Slice 109 of 155. Axial view.
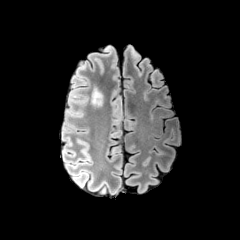
FLAIR MR.
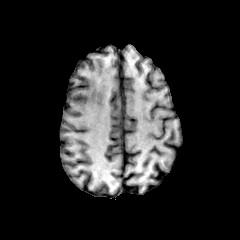
T1-weighted MRI.
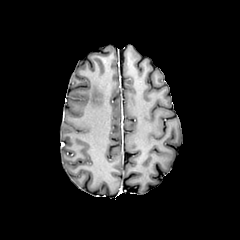
Post-contrast T1-weighted MRI.
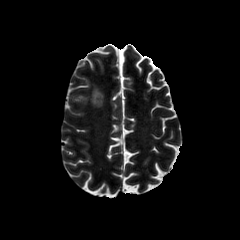
T2-weighted magnetic resonance.
peritumoral_edema:
  - 91 86 103 106